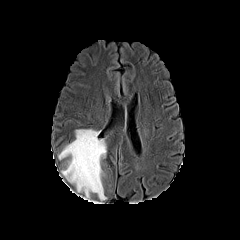
FLAIR MRI.
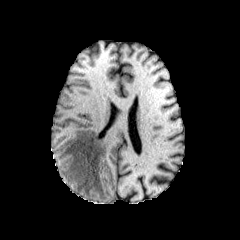
T1-weighted magnetic resonance.
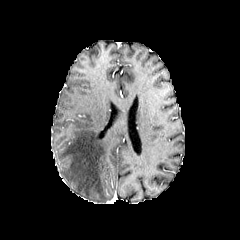
Post-contrast T1-weighted MRI of the same slice.
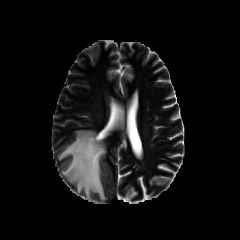
Same slice, T2-weighted magnetic resonance.
Axial plane, Head
The peritumoral edema lies within (left=58, top=129, right=106, bottom=202).